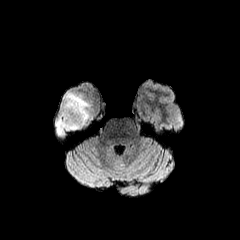
FLAIR MR.
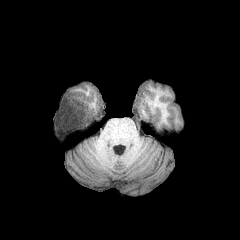
T1-weighted MR.
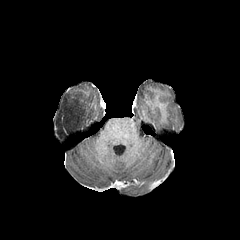
Post-contrast T1-weighted MR of the same slice.
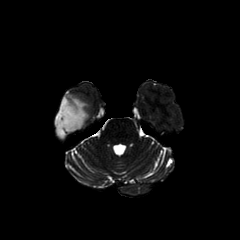
T2-weighted MR of the same slice.
Brain; Axial view
peritumoral edema — bbox=[55, 93, 89, 140]